FLAIR MR image.
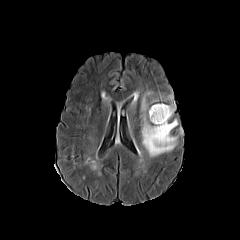
T1-weighted magnetic resonance.
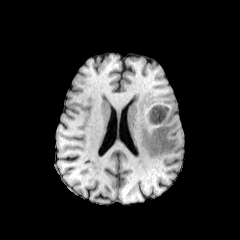
Post-contrast T1-weighted MR.
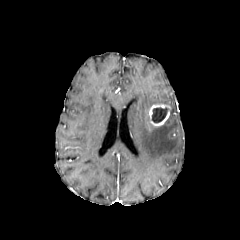
T2-weighted MRI.
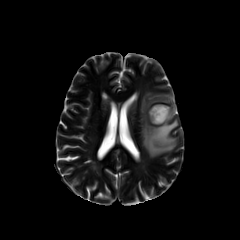
240x240 px | Brain
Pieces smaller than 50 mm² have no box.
enhancing tumor at <bbox>148, 104, 170, 126</bbox>
peritumoral edema at <bbox>141, 92, 178, 157</bbox>, <bbox>167, 95, 175, 118</bbox>
necrotic tumor core at <bbox>152, 107, 167, 122</bbox>